FLAIR magnetic resonance.
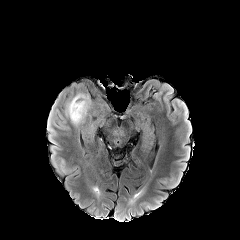
T1-weighted magnetic resonance.
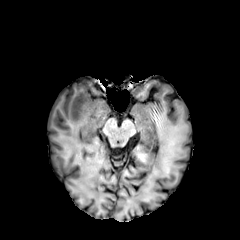
Post-contrast T1-weighted magnetic resonance.
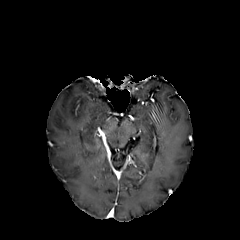
T2-weighted MR image.
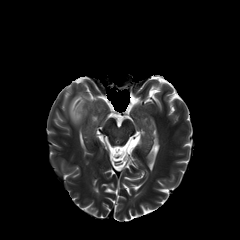
Findings:
* peritumoral edema: 68 94 89 125